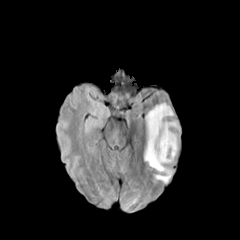
FLAIR MR image.
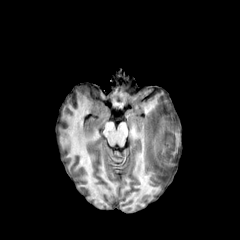
T1-weighted MR image.
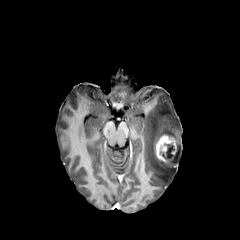
Post-contrast T1-weighted MR image of the same slice.
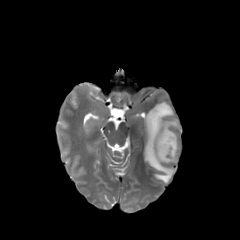
T2-weighted MRI of the same slice.
240x240
The necrotic tumor core appears at [x1=162, y1=143, x2=180, y2=163]. The peritumoral edema is bounded by [x1=144, y1=103, x2=180, y2=183]. The enhancing tumor appears at [x1=154, y1=134, x2=177, y2=168].